FLAIR MRI.
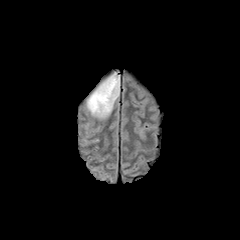
T1-weighted magnetic resonance.
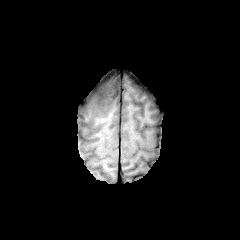
Post-contrast T1-weighted MR image.
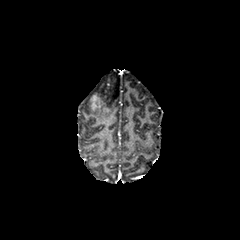
T2-weighted magnetic resonance.
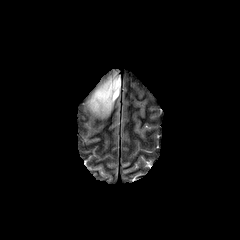
Head; Image size 240x240; Axial slice
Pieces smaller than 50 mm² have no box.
The largest enhancing tumor region is bounded by (left=91, top=91, right=107, bottom=110). The largest peritumoral edema region is bounded by (left=87, top=73, right=119, bottom=118).